FLAIR MRI.
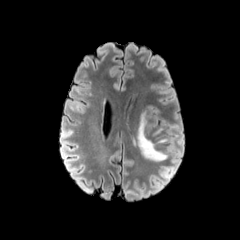
T1-weighted magnetic resonance.
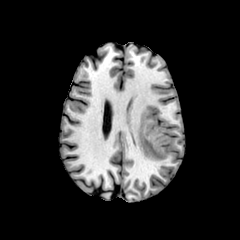
Post-contrast T1-weighted MR image.
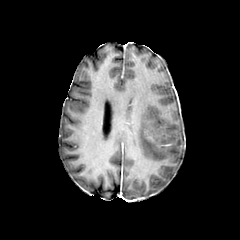
T2-weighted magnetic resonance.
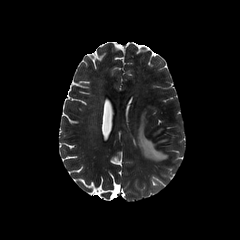
Brain | Axial view
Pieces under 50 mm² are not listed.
peritumoral edema — (137, 112, 168, 161)